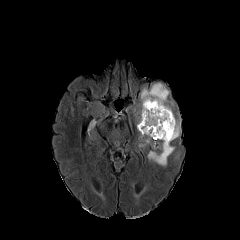
FLAIR MRI.
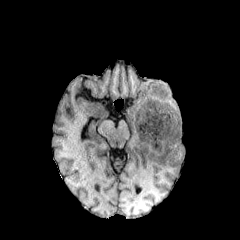
T1-weighted MR of the same slice.
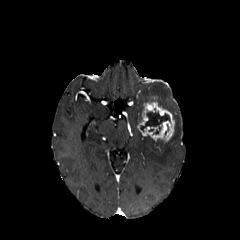
Post-contrast T1-weighted MRI.
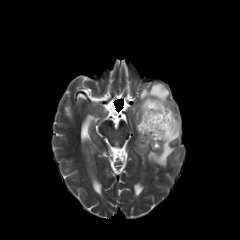
Same slice, T2-weighted MR image.
Head
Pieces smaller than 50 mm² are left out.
Findings:
- necrotic tumor core: (x1=140, y1=112, x2=170, y2=130)
- peritumoral edema: (x1=135, y1=82, x2=181, y2=166)
- enhancing tumor: (x1=137, y1=101, x2=174, y2=142)